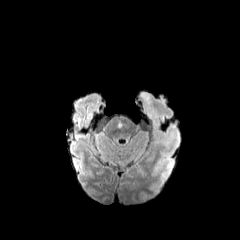
FLAIR MR.
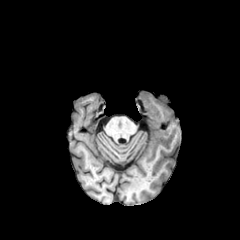
T1-weighted MRI of the same slice.
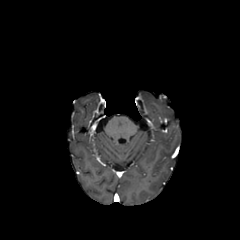
Post-contrast T1-weighted MRI.
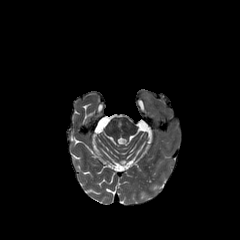
T2-weighted magnetic resonance.
Axial plane. Image size 240x240.
The peritumoral edema lies within <box>140,91,154,101</box>.